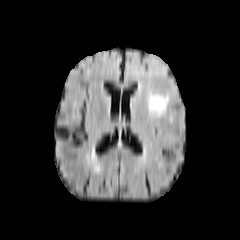
FLAIR MR image.
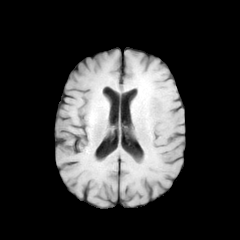
T1-weighted MRI.
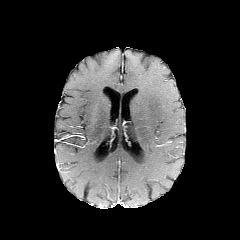
Same slice, post-contrast T1-weighted MR.
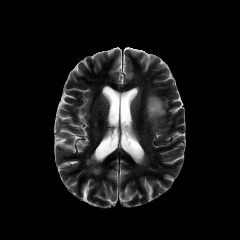
T2-weighted magnetic resonance.
Axial view, Image size 240x240, Brain
The peritumoral edema appears at <box>148,94,167,117</box>.